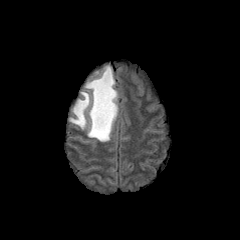
FLAIR MRI.
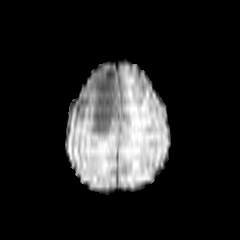
T1-weighted MRI.
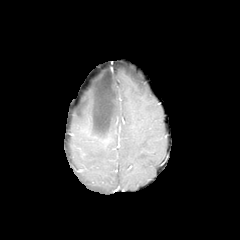
Post-contrast T1-weighted MR.
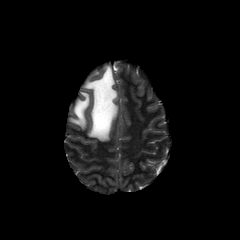
T2-weighted MRI.
Segmented structures:
• peritumoral edema: [69, 65, 118, 141]